FLAIR MRI.
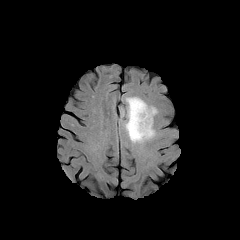
T1-weighted MRI.
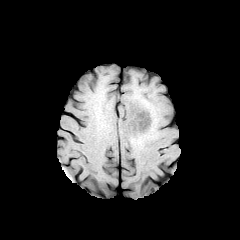
Post-contrast T1-weighted MRI.
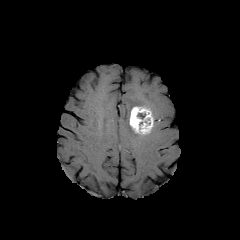
T2-weighted MR.
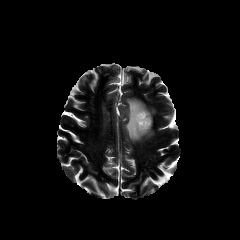
Axial plane | Brain
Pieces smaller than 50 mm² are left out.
• peritumoral edema: box(122, 97, 157, 143)
• enhancing tumor: box(129, 105, 153, 135)